Axial plane, Slice 121/155, Brain
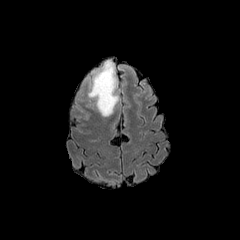
FLAIR MRI.
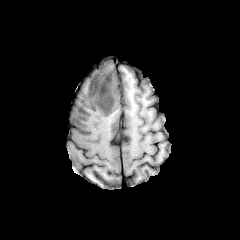
T1-weighted MR image.
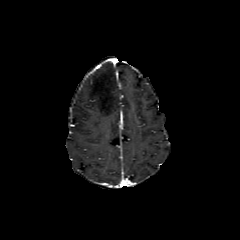
Post-contrast T1-weighted MRI of the same slice.
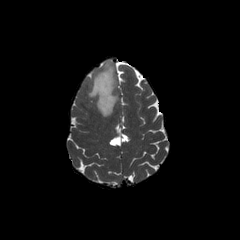
T2-weighted magnetic resonance.
The peritumoral edema is at <bbox>88, 60, 118, 116</bbox>.